FLAIR MRI.
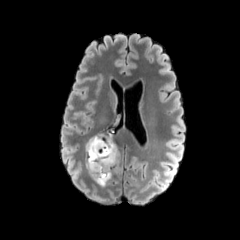
T1-weighted MR image.
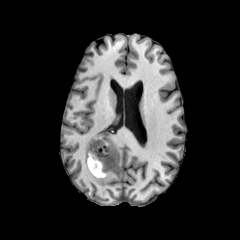
Post-contrast T1-weighted MRI.
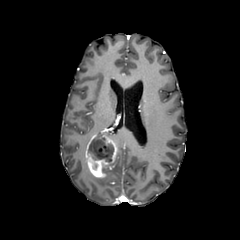
T2-weighted MR.
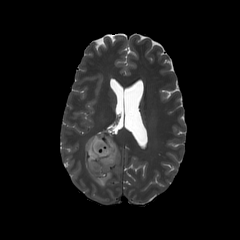
Axial slice | 240x240 px
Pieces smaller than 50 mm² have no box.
The 3 largest peritumoral edema regions are bounded by 84 130 101 171, 89 170 111 187, 112 133 119 165. The necrotic tumor core appears at 88 135 113 171. The enhancing tumor is located at 85 132 118 177.